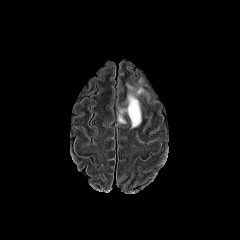
FLAIR MR.
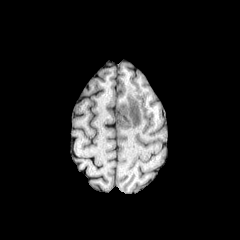
T1-weighted MR image.
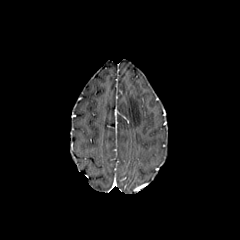
Post-contrast T1-weighted MR image of the same slice.
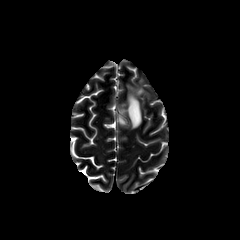
T2-weighted MRI.
Head
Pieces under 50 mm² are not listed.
The largest peritumoral edema region lies within rect(117, 83, 149, 127).